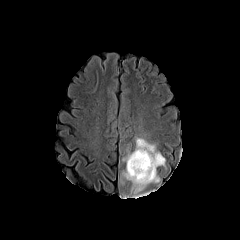
FLAIR MR.
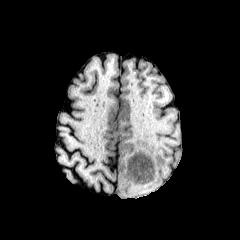
T1-weighted MRI.
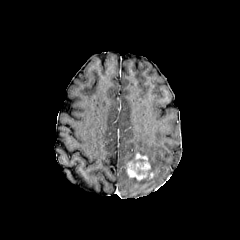
Post-contrast T1-weighted MR image.
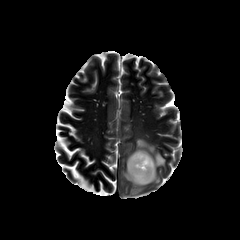
Same slice, T2-weighted MR image.
Axial plane. Head.
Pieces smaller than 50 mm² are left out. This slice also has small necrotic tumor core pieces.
enhancing tumor at x1=127, y1=152, x2=154, y2=180
peritumoral edema at x1=121, y1=137, x2=165, y2=195